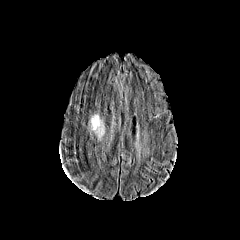
FLAIR MRI.
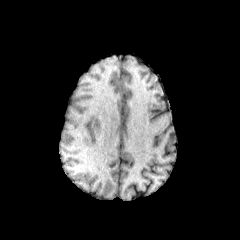
T1-weighted MR of the same slice.
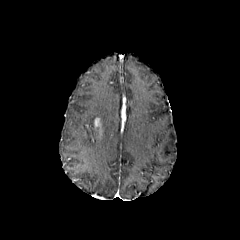
Post-contrast T1-weighted MR image of the same slice.
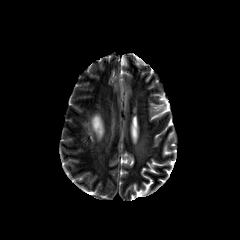
T2-weighted MRI of the same slice.
240x240 px.
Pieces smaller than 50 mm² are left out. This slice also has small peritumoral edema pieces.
enhancing tumor: bbox(94, 118, 103, 136)